FLAIR magnetic resonance.
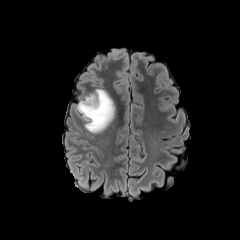
T1-weighted MR.
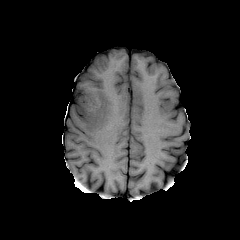
Post-contrast T1-weighted MR.
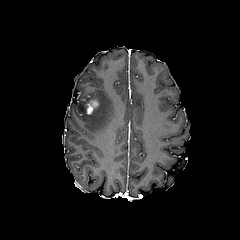
T2-weighted MR.
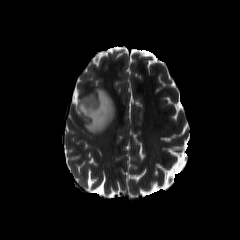
Brain | Axial slice
enhancing tumor: (86, 99, 99, 114) | peritumoral edema: (76, 89, 115, 133)